Slice 59/155 | Image width 240 mm | Brain
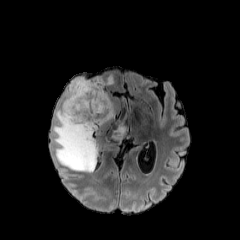
FLAIR magnetic resonance.
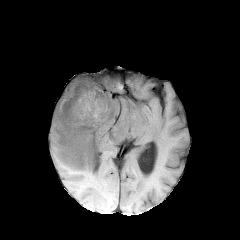
T1-weighted MR image.
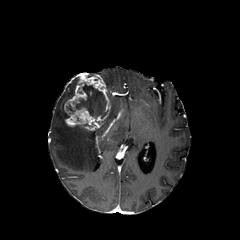
Post-contrast T1-weighted magnetic resonance.
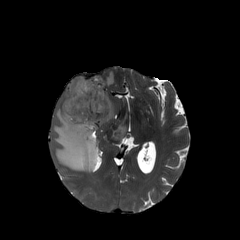
T2-weighted MR image.
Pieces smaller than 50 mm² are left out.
necrotic tumor core at <bbox>67, 83, 107, 118</bbox>
enhancing tumor at <bbox>64, 73, 110, 131</bbox>
peritumoral edema at <bbox>53, 77, 98, 172</bbox>, <bbox>112, 123, 126, 142</bbox>, <bbox>104, 99, 114, 122</bbox>, <bbox>101, 74, 113, 87</bbox>